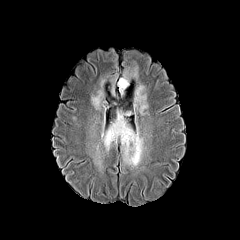
FLAIR MRI.
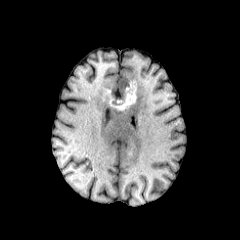
T1-weighted MRI.
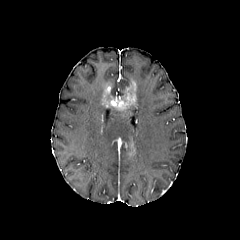
Post-contrast T1-weighted MR.
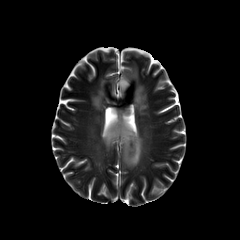
Same slice, T2-weighted MRI.
Brain
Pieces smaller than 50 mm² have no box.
<segmentation>
  <peritumoral_edema>bbox(101, 115, 145, 166); bbox(131, 84, 147, 114); bbox(118, 67, 137, 94); bbox(91, 79, 105, 110)</peritumoral_edema>
</segmentation>